Axial plane, Brain
FLAIR MRI.
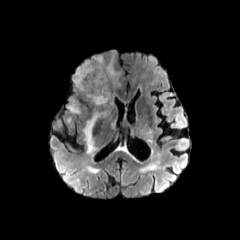
T1-weighted MR.
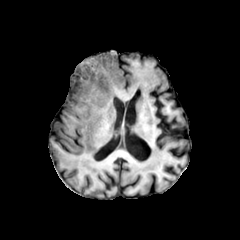
Post-contrast T1-weighted MR image.
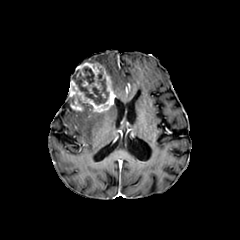
T2-weighted MR image.
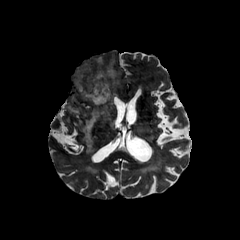
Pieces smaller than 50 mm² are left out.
<segmentation>
  <necrotic_tumor_core>rect(72, 67, 108, 104)</necrotic_tumor_core>
  <peritumoral_edema>rect(105, 62, 117, 85); rect(83, 111, 105, 153)</peritumoral_edema>
  <enhancing_tumor>rect(69, 62, 115, 112)</enhancing_tumor>
</segmentation>